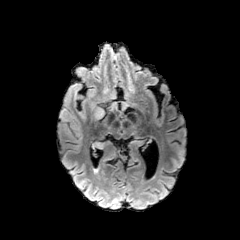
FLAIR MR.
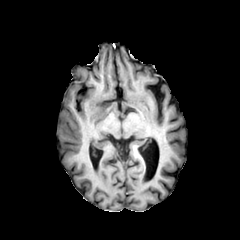
T1-weighted magnetic resonance.
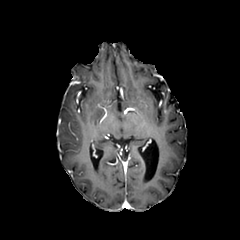
Post-contrast T1-weighted MR.
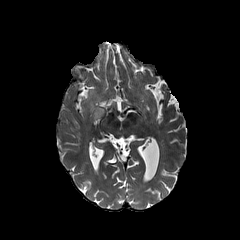
T2-weighted MRI of the same slice.
Axial plane
3 peritumoral edema regions appear at (x1=89, y1=103, x2=104, y2=119), (x1=69, y1=83, x2=82, y2=89), (x1=95, y1=139, x2=111, y2=148).